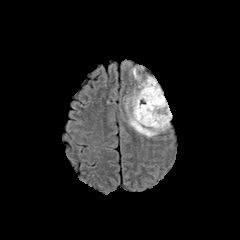
FLAIR magnetic resonance.
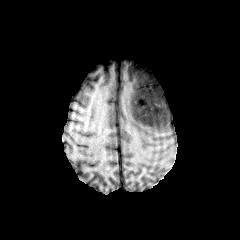
Same slice, T1-weighted MR image.
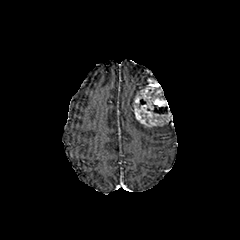
Post-contrast T1-weighted MR image.
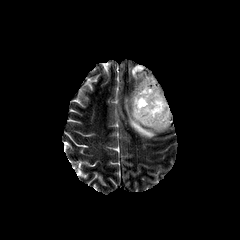
T2-weighted MR image.
240x240 px | Head | Axial view
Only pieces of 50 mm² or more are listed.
peritumoral edema: (x1=132, y1=67, x2=139, y2=78), (x1=129, y1=112, x2=169, y2=137)
necrotic tumor core: (x1=153, y1=105, x2=167, y2=114)
enhancing tumor: (x1=133, y1=78, x2=172, y2=127)